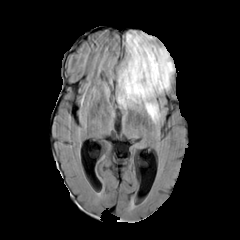
FLAIR MR image.
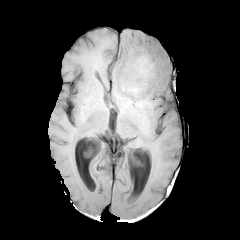
T1-weighted MRI.
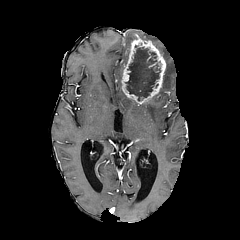
Same slice, post-contrast T1-weighted MR image.
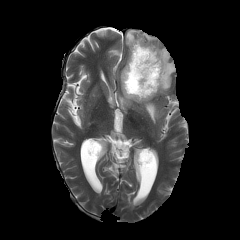
T2-weighted MRI of the same slice.
240x240
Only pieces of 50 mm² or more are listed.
Annotated regions:
• peritumoral edema: region(156, 44, 174, 93); region(117, 31, 154, 108); region(141, 97, 160, 122)
• enhancing tumor: region(121, 34, 166, 104)
• necrotic tumor core: region(125, 45, 160, 100)